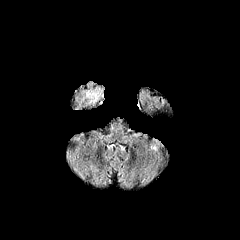
FLAIR MRI.
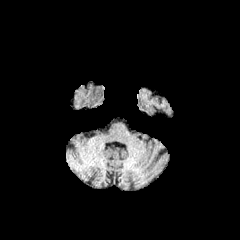
Same slice, T1-weighted MR.
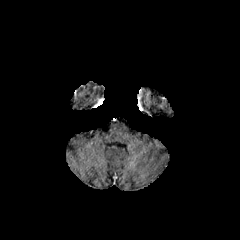
Same slice, post-contrast T1-weighted magnetic resonance.
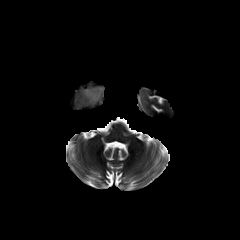
Same slice, T2-weighted MRI.
Head; 240x240 px; Axial slice
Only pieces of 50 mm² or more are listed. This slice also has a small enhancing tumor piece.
{"peritumoral_edema": ["85:88:103:103"]}